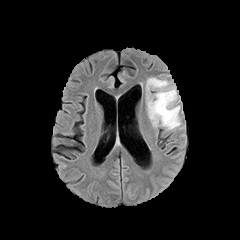
FLAIR MR image.
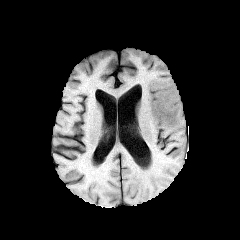
Same slice, T1-weighted MR.
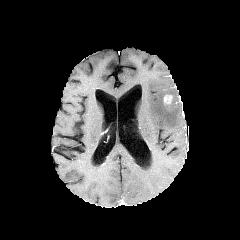
Post-contrast T1-weighted magnetic resonance.
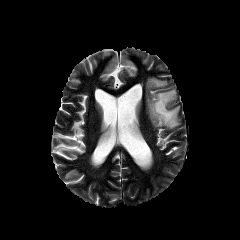
T2-weighted MR.
Segmented structures:
- enhancing tumor: (164, 95, 172, 103)
- peritumoral edema: (146, 77, 180, 130)